Slice 79 of 155. Image size 240x240. Axial plane.
FLAIR MRI.
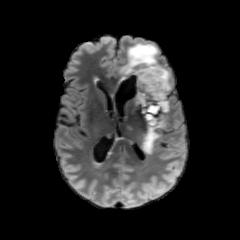
T1-weighted MRI.
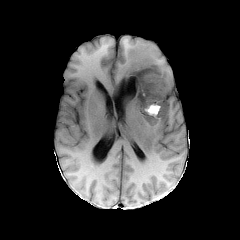
Post-contrast T1-weighted magnetic resonance.
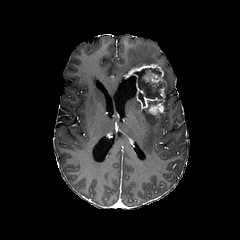
T2-weighted MR image.
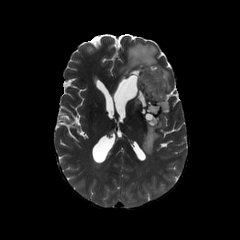
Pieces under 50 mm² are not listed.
The 2 largest necrotic tumor core regions are bounded by box(145, 106, 158, 125); box(135, 68, 163, 98). The largest enhancing tumor region appears at box(124, 63, 166, 117). The 2 largest peritumoral edema regions are located at box(142, 99, 169, 153); box(119, 42, 170, 90).